Image width 240 mm.
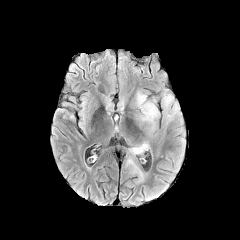
FLAIR MR.
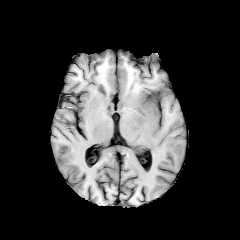
T1-weighted MRI.
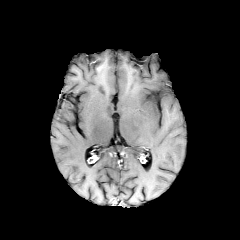
Post-contrast T1-weighted MR image.
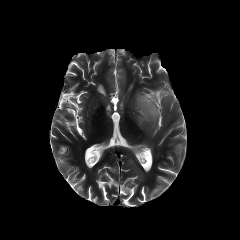
T2-weighted MR of the same slice.
Findings:
* peritumoral edema: region(131, 90, 158, 134)